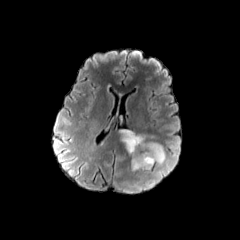
FLAIR magnetic resonance.
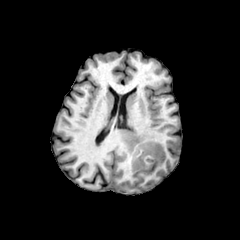
T1-weighted MRI of the same slice.
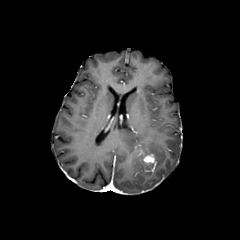
Post-contrast T1-weighted MR image.
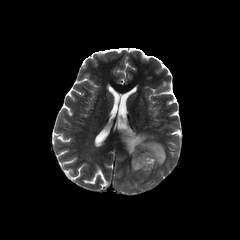
T2-weighted magnetic resonance.
peritumoral edema: 120 129 165 173 | enhancing tumor: 143 155 154 163